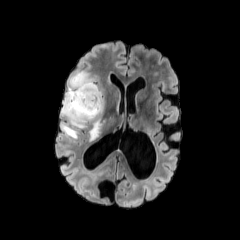
FLAIR MR.
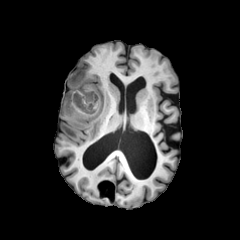
T1-weighted MR image of the same slice.
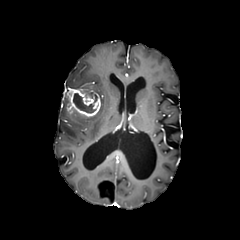
Same slice, post-contrast T1-weighted MR image.
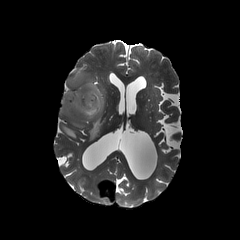
Same slice, T2-weighted MR image.
Axial plane
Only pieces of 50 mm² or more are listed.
Annotated regions:
* enhancing tumor: 64:87:100:116
* peritumoral edema: 89:118:101:140, 61:124:77:138, 61:71:103:127
* necrotic tumor core: 73:93:95:112